FLAIR MR.
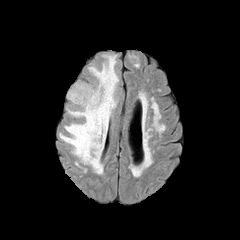
T1-weighted MR.
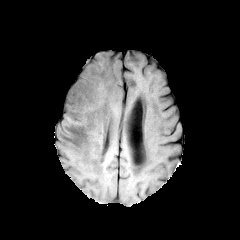
Post-contrast T1-weighted magnetic resonance.
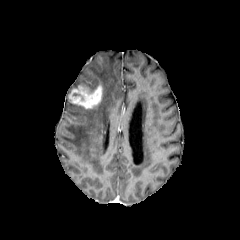
T2-weighted MR.
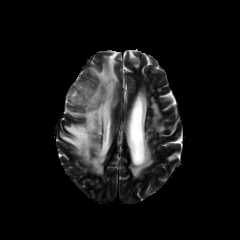
Image size 240x240 | Axial plane
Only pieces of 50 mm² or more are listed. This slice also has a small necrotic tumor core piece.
Segmented structures:
- enhancing tumor: [x1=68, y1=83, x2=102, y2=108]
- peritumoral edema: [x1=59, y1=54, x2=118, y2=173]